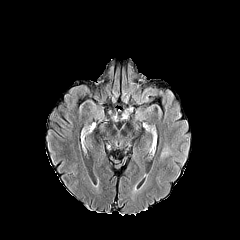
FLAIR MRI.
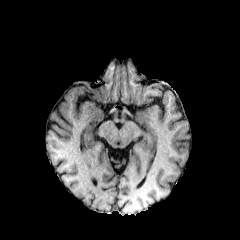
T1-weighted MRI.
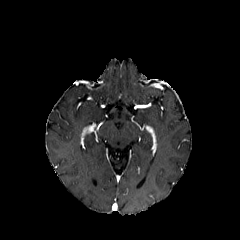
Post-contrast T1-weighted MR image.
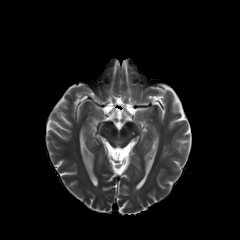
T2-weighted MR.
peritumoral edema = left=160, top=146, right=168, bottom=157